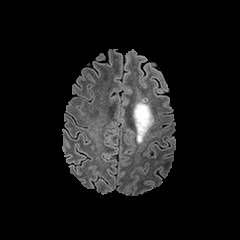
FLAIR magnetic resonance.
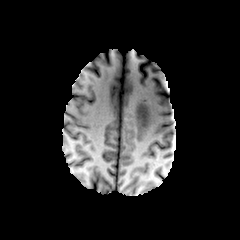
T1-weighted magnetic resonance.
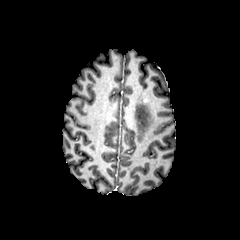
Post-contrast T1-weighted MRI.
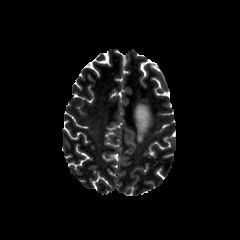
T2-weighted magnetic resonance.
240x240 px; Axial view
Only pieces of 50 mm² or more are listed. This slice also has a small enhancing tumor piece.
The peritumoral edema lies within x1=134 y1=94 x2=151 y2=142.